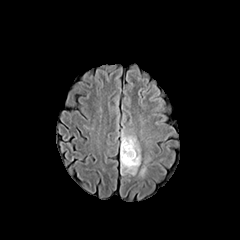
FLAIR MR.
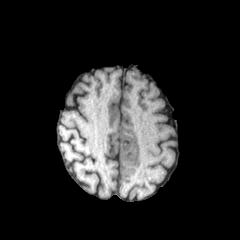
T1-weighted MR image.
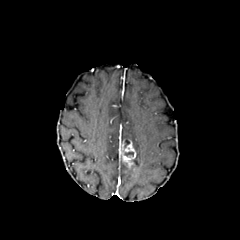
Post-contrast T1-weighted MRI.
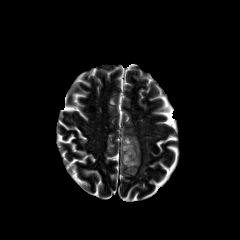
T2-weighted magnetic resonance.
Head
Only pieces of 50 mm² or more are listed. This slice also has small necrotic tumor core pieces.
peritumoral edema: {"x1": 120, "y1": 127, "x2": 140, "y2": 175} | enhancing tumor: {"x1": 120, "y1": 140, "x2": 136, "y2": 170}